Image size 240x240; Head; Slice 74 of 155
FLAIR MR.
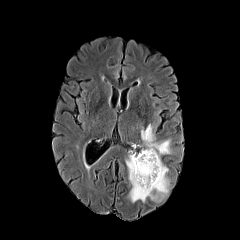
T1-weighted MR.
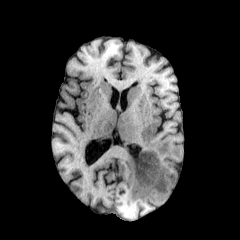
Post-contrast T1-weighted MR image.
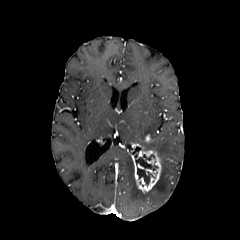
T2-weighted MR.
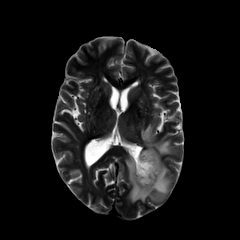
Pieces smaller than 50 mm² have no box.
The largest enhancing tumor region appears at box(131, 149, 161, 193). 2 peritumoral edema regions are located at box(141, 124, 171, 158); box(125, 155, 169, 202). The largest necrotic tumor core region appears at box(134, 154, 157, 186).